Slice 57 of 155
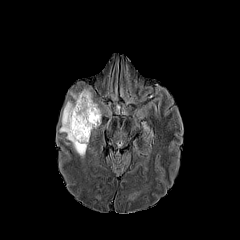
FLAIR MR.
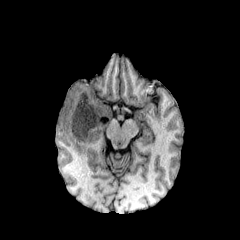
Same slice, T1-weighted magnetic resonance.
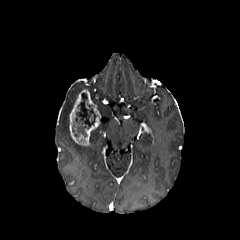
Post-contrast T1-weighted MRI.
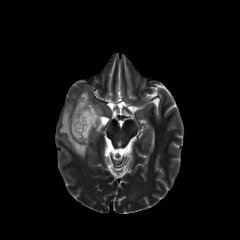
Same slice, T2-weighted MRI.
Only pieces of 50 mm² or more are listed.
- necrotic tumor core: 72:93:98:137
- peritumoral edema: 59:101:86:157
- enhancing tumor: 69:89:101:145